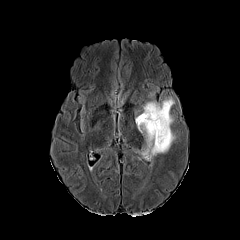
FLAIR MRI.
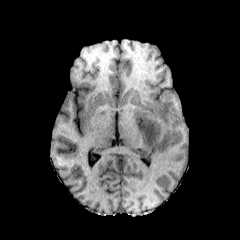
T1-weighted MR.
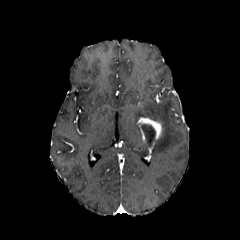
Post-contrast T1-weighted MR image.
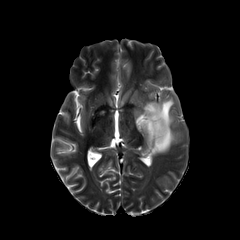
Same slice, T2-weighted MR.
Axial slice. Head. 240x240.
<segmentation>
  <peritumoral_edema>(left=134, top=89, right=185, bottom=157)</peritumoral_edema>
  <enhancing_tumor>(left=137, top=117, right=162, bottom=141)</enhancing_tumor>
</segmentation>